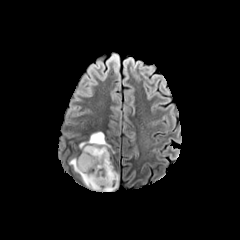
FLAIR MR.
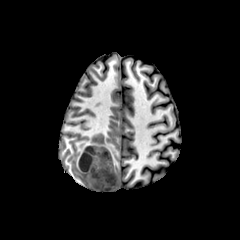
T1-weighted MR.
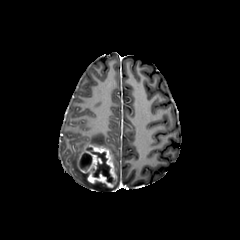
Same slice, post-contrast T1-weighted MR image.
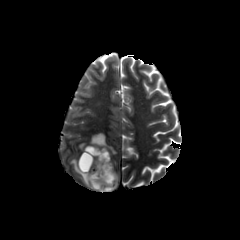
Same slice, T2-weighted MR image.
240x240 px
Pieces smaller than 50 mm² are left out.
Segmented structures:
* enhancing tumor: (77,145,116,187)
* necrotic tumor core: (86,147,114,183), (80,153,91,170)
* peritumoral edema: (69,158,118,191), (88,132,114,153), (79,142,86,151)